FLAIR magnetic resonance.
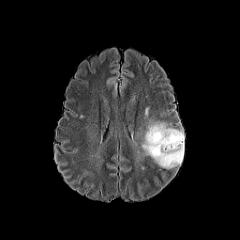
T1-weighted MR.
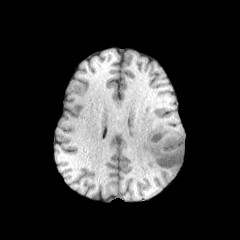
Post-contrast T1-weighted magnetic resonance.
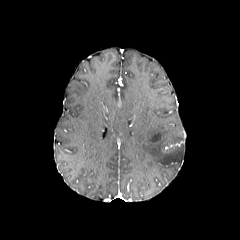
T2-weighted MRI.
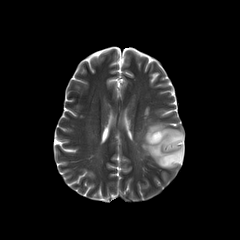
<segmentation>
  <peritumoral_edema>(left=142, top=122, right=184, bottom=168)</peritumoral_edema>
</segmentation>